Brain. Image covers 240 mm x 240 mm.
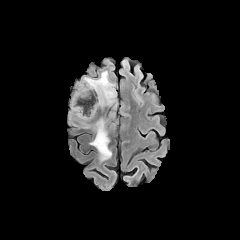
FLAIR MRI.
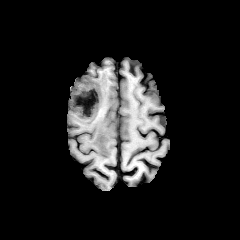
T1-weighted MR.
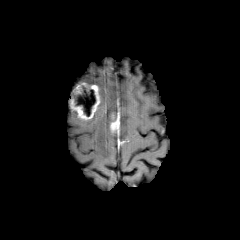
Post-contrast T1-weighted magnetic resonance.
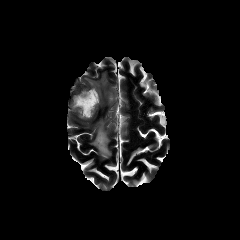
Same slice, T2-weighted MR image.
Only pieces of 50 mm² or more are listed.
enhancing tumor: region(70, 82, 100, 120); region(110, 114, 119, 131)
necrotic tumor core: region(74, 85, 95, 116)
peritumoral edema: region(90, 119, 111, 159); region(84, 71, 115, 105)